FLAIR MRI.
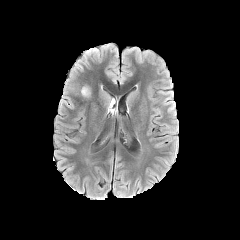
T1-weighted MR image.
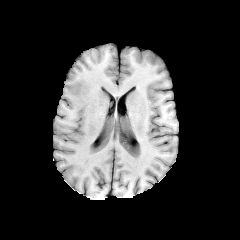
Post-contrast T1-weighted magnetic resonance.
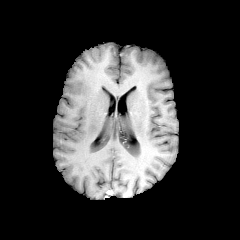
T2-weighted magnetic resonance.
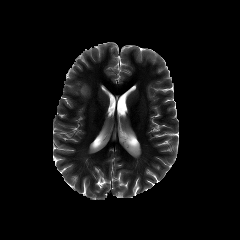
Head; 240x240 px; Axial slice
peritumoral_edema:
  - [81, 87, 89, 96]